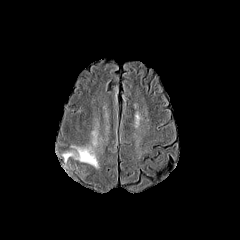
FLAIR MR image.
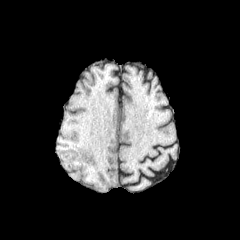
Same slice, T1-weighted MRI.
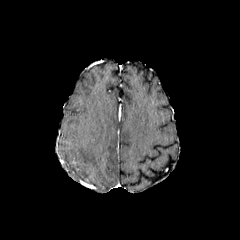
Post-contrast T1-weighted magnetic resonance.
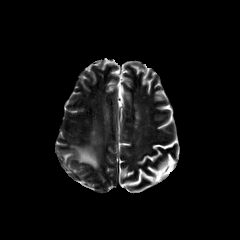
Same slice, T2-weighted MR image.
Axial view
3 peritumoral edema regions appear at region(63, 152, 73, 162); region(92, 131, 97, 145); region(73, 147, 97, 167).